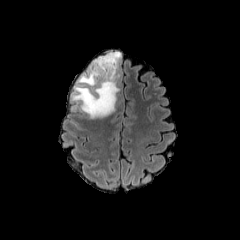
FLAIR MR.
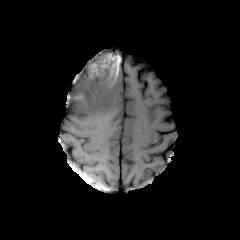
Same slice, T1-weighted MR.
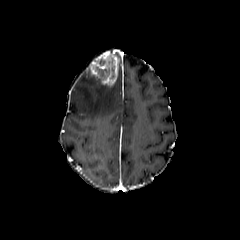
Same slice, post-contrast T1-weighted MR image.
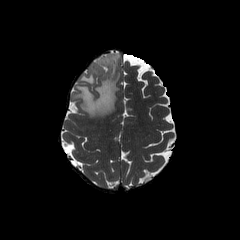
T2-weighted MR.
Axial view. Brain.
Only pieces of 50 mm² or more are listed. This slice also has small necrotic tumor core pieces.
The enhancing tumor lies within <bbox>87, 52, 119, 86</bbox>. The largest peritumoral edema region is at <bbox>72, 71, 120, 118</bbox>.